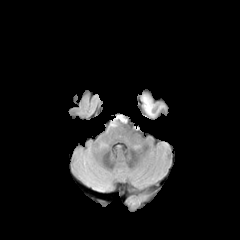
FLAIR MR image.
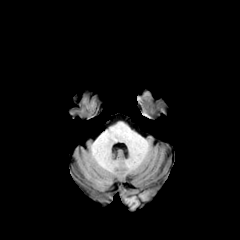
T1-weighted MR.
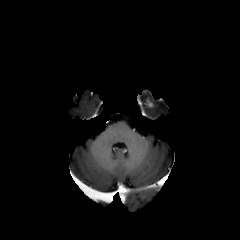
Same slice, post-contrast T1-weighted MR.
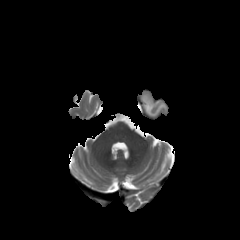
T2-weighted magnetic resonance.
Axial slice | 240x240 | Head
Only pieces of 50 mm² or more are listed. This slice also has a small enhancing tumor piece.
The largest peritumoral edema region is bounded by box(142, 95, 153, 115).